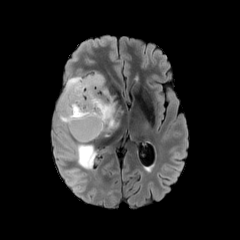
FLAIR MRI.
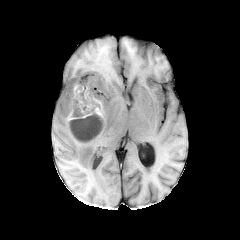
T1-weighted MR image.
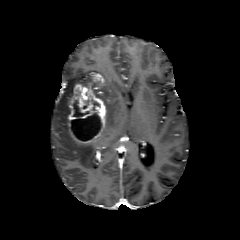
Post-contrast T1-weighted MRI.
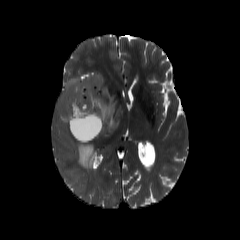
T2-weighted MR image of the same slice.
Head.
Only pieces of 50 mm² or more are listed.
The 3 largest peritumoral edema regions are located at <box>57,75,97,128</box>, <box>93,86,117,131</box>, <box>76,143,96,168</box>. The largest necrotic tumor core region is located at <box>71,100,101,140</box>. 2 enhancing tumor regions appear at <box>93,73,104,88</box>, <box>68,83,106,144</box>.